Head
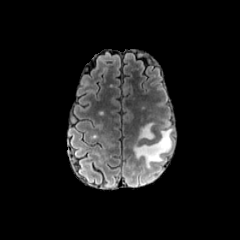
FLAIR MR.
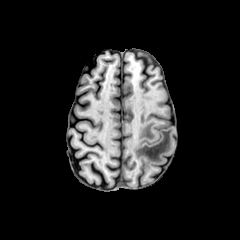
T1-weighted MR.
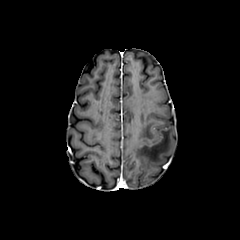
Post-contrast T1-weighted MR image.
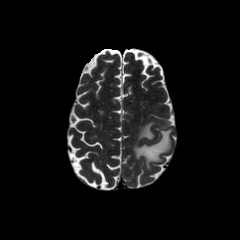
Same slice, T2-weighted MRI.
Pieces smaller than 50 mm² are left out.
The largest peritumoral edema region is located at 133 122 173 167.